Slice index 84 | 240x240 | Head | Image width 240 mm
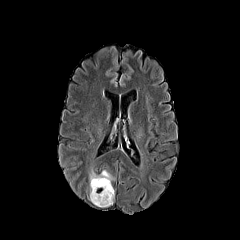
FLAIR MR.
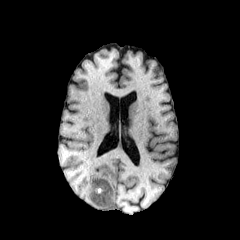
T1-weighted MR image of the same slice.
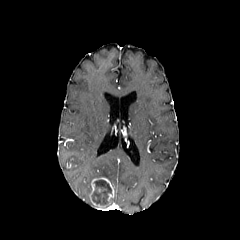
Post-contrast T1-weighted MRI.
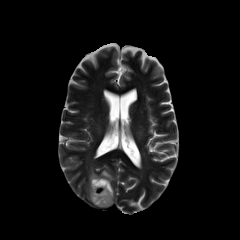
T2-weighted MR.
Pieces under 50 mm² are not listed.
<segmentation>
  <peritumoral_edema>(left=89, top=168, right=114, bottom=194)</peritumoral_edema>
  <enhancing_tumor>(left=89, top=177, right=114, bottom=207)</enhancing_tumor>
  <necrotic_tumor_core>(left=92, top=180, right=111, bottom=204)</necrotic_tumor_core>
</segmentation>